Slice index 78. Head.
FLAIR MR image.
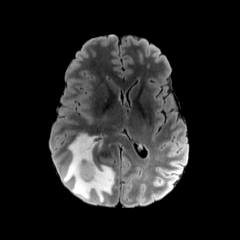
T1-weighted MRI.
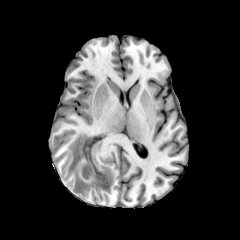
Post-contrast T1-weighted MRI.
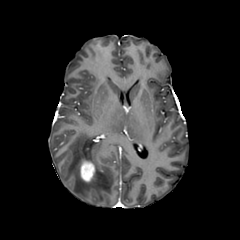
T2-weighted MR image.
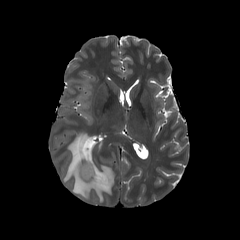
peritumoral edema at bbox(63, 133, 115, 202)
enhancing tumor at bbox(80, 159, 96, 182)